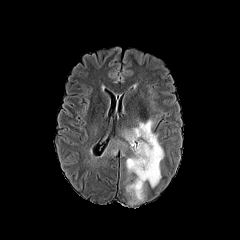
FLAIR MRI.
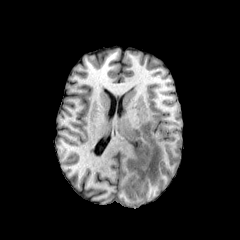
Same slice, T1-weighted MR.
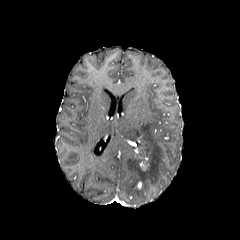
Same slice, post-contrast T1-weighted MRI.
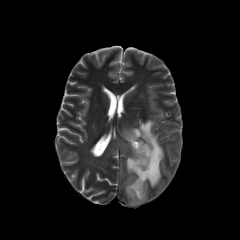
T2-weighted MRI.
Axial slice
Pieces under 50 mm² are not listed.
The 2 largest peritumoral edema regions are located at [101, 137, 127, 157], [119, 118, 165, 203]. The largest enhancing tumor region lies within [140, 157, 149, 171].